Axial slice, Head
FLAIR MR.
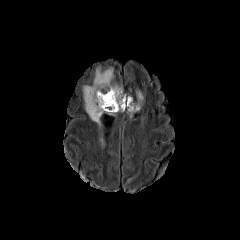
T1-weighted MR image.
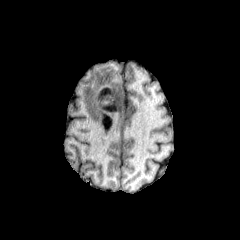
Post-contrast T1-weighted magnetic resonance.
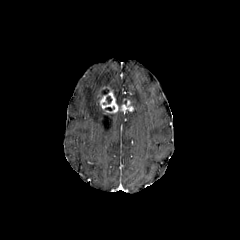
T2-weighted MR.
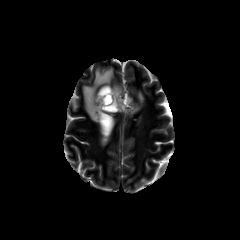
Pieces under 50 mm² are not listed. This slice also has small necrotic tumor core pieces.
Findings:
* peritumoral edema: (left=83, top=67, right=143, bottom=124)
* enhancing tumor: (left=98, top=87, right=133, bottom=113)